Head; Axial plane; Image size 240x240
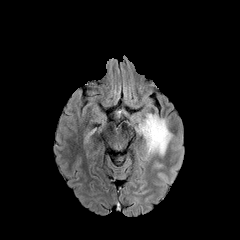
FLAIR magnetic resonance.
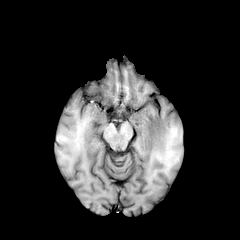
T1-weighted MR.
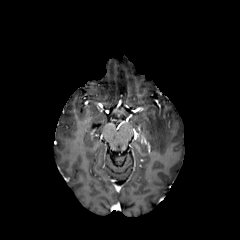
Same slice, post-contrast T1-weighted MRI.
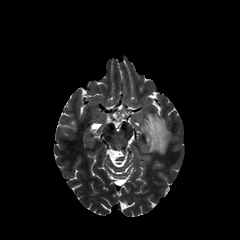
Same slice, T2-weighted MR.
Segmented structures:
* peritumoral edema: 139, 113, 171, 154